FLAIR MR.
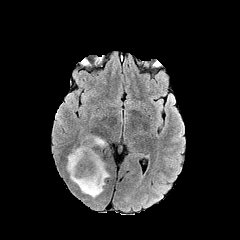
T1-weighted magnetic resonance.
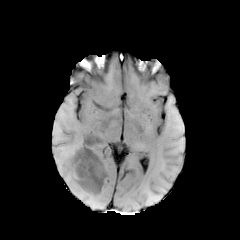
Post-contrast T1-weighted magnetic resonance.
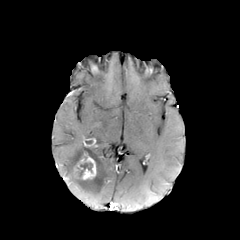
T2-weighted MRI.
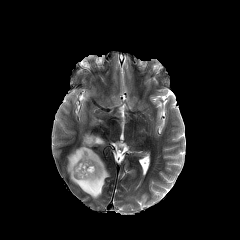
Brain | Axial view | 240x240
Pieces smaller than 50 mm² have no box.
The 2 largest enhancing tumor regions are located at box=[76, 153, 96, 179]; box=[83, 137, 96, 146]. The largest necrotic tumor core region appears at box=[74, 163, 92, 178]. 2 peritumoral edema regions are located at box=[66, 141, 109, 198]; box=[95, 136, 106, 146].